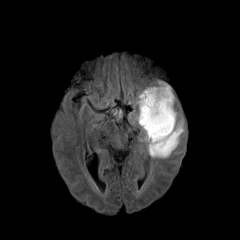
FLAIR magnetic resonance.
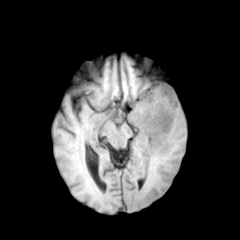
T1-weighted MRI.
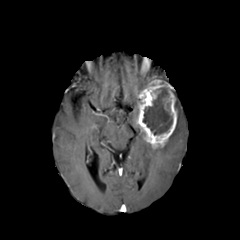
Post-contrast T1-weighted MRI of the same slice.
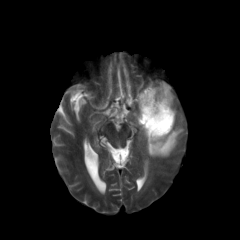
Same slice, T2-weighted MRI.
Brain
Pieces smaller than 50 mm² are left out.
{
  "enhancing_tumor": [
    "bbox(135, 80, 177, 148)"
  ],
  "peritumoral_edema": [
    "bbox(129, 111, 138, 125)",
    "bbox(147, 118, 184, 157)"
  ],
  "necrotic_tumor_core": [
    "bbox(143, 87, 172, 135)"
  ]
}